Image size 240x240. Slice 89/155. Head.
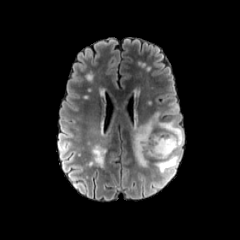
FLAIR MR.
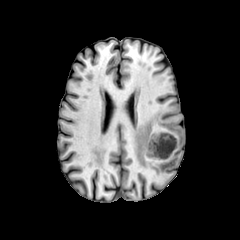
T1-weighted MR.
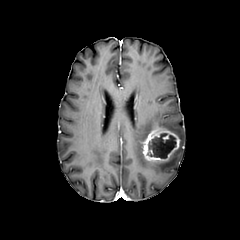
Post-contrast T1-weighted MRI of the same slice.
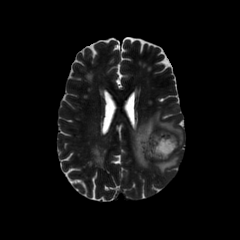
Same slice, T2-weighted MRI.
enhancing tumor: x1=142 y1=129 x2=179 y2=161
necrotic tumor core: x1=147 y1=133 x2=176 y2=158
peritumoral edema: x1=170 y1=103 x2=178 y2=113, x1=133 y1=112 x2=183 y2=172